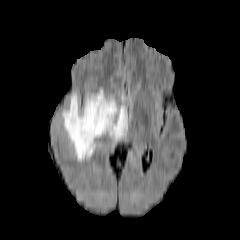
FLAIR MR.
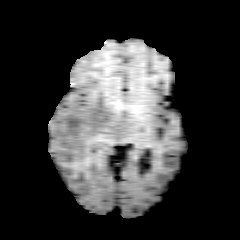
T1-weighted MR.
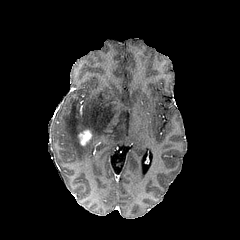
Post-contrast T1-weighted magnetic resonance.
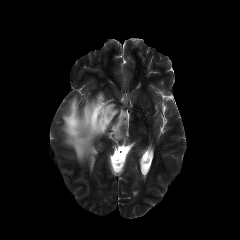
T2-weighted MR.
240x240
peritumoral edema: 62 90 128 161 | enhancing tumor: 78 129 92 145